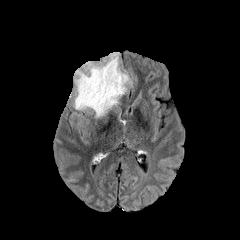
FLAIR MR image.
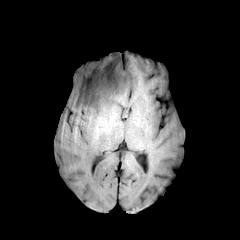
T1-weighted MR of the same slice.
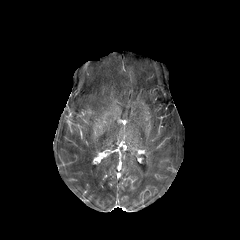
Same slice, post-contrast T1-weighted MRI.
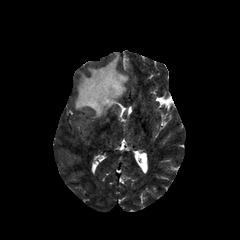
T2-weighted magnetic resonance of the same slice.
Axial view. Head.
Annotated regions:
• peritumoral edema: 74,53,128,117